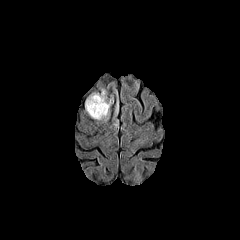
FLAIR MR.
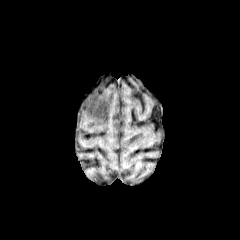
T1-weighted MR image.
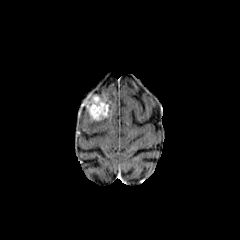
Post-contrast T1-weighted MR image of the same slice.
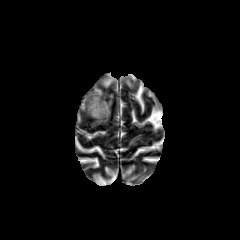
T2-weighted magnetic resonance.
240x240, Axial slice
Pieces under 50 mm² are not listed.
The largest peritumoral edema region is at box(111, 101, 118, 128). The enhancing tumor is at box(85, 94, 111, 120).